Axial slice | 240x240
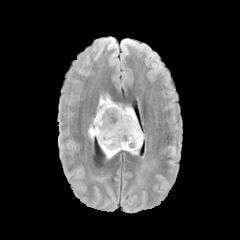
FLAIR MRI.
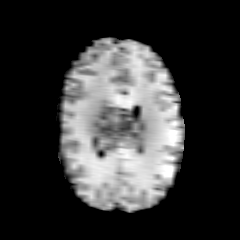
Same slice, T1-weighted MR.
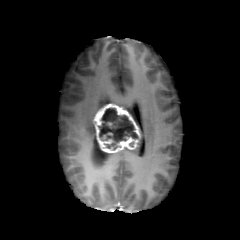
Post-contrast T1-weighted magnetic resonance.
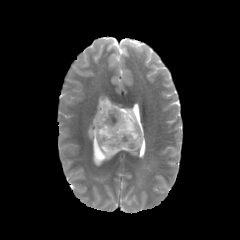
T2-weighted MR.
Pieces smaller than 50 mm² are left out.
{
  "peritumoral_edema": [
    "[x1=124, y1=107, x2=138, y2=125]",
    "[x1=88, y1=119, x2=95, y2=139]",
    "[x1=97, y1=94, x2=122, y2=111]",
    "[x1=124, y1=131, x2=144, y2=154]",
    "[x1=104, y1=152, x2=116, y2=159]"
  ],
  "necrotic_tumor_core": [
    "[x1=99, y1=108, x2=137, y2=141]"
  ],
  "enhancing_tumor": [
    "[x1=93, y1=104, x2=140, y2=152]"
  ]
}